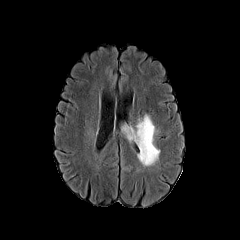
FLAIR magnetic resonance.
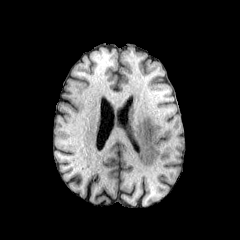
Same slice, T1-weighted MRI.
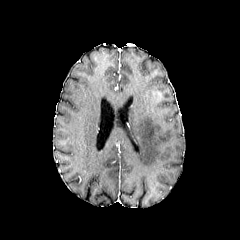
Same slice, post-contrast T1-weighted MRI.
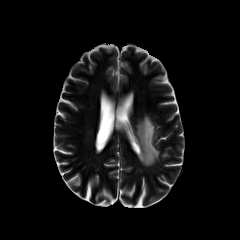
T2-weighted MR.
Axial view. Brain.
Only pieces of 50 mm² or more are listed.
peritumoral_edema:
  - [131,115,159,166]